FLAIR magnetic resonance.
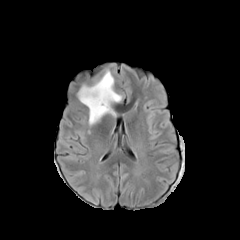
T1-weighted magnetic resonance.
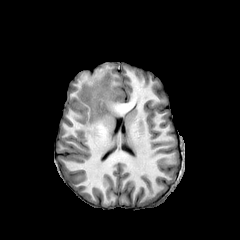
Post-contrast T1-weighted MRI.
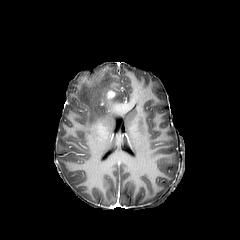
T2-weighted magnetic resonance.
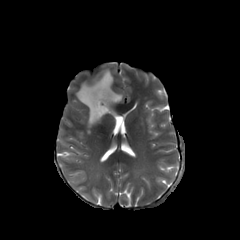
Brain
Annotated regions:
* enhancing tumor: l=106, t=90, r=115, b=99
* peritumoral edema: l=77, t=69, r=122, b=125